240x240 px | Axial plane | Brain
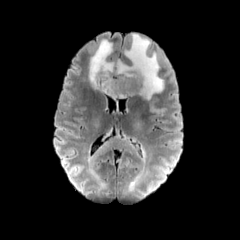
FLAIR MR.
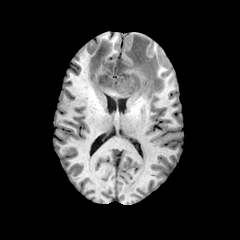
T1-weighted MR.
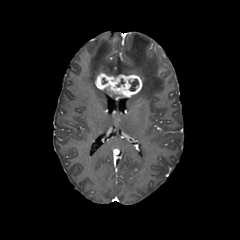
Post-contrast T1-weighted MR of the same slice.
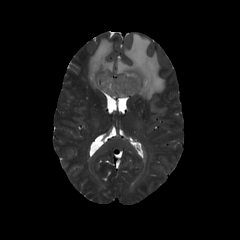
T2-weighted magnetic resonance of the same slice.
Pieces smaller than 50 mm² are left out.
The 3 largest peritumoral edema regions are located at [115, 34, 166, 118], [94, 137, 135, 159], [88, 39, 114, 88]. The enhancing tumor lies within [95, 72, 142, 97]. The largest necrotic tumor core region is at [130, 79, 138, 91].